FLAIR MR.
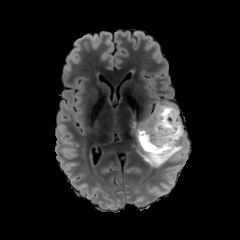
T1-weighted MR image.
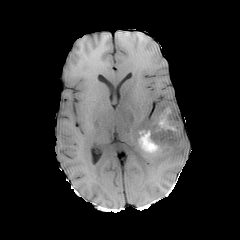
Post-contrast T1-weighted MR.
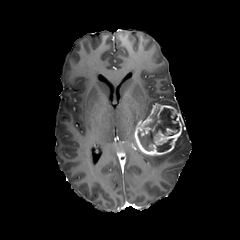
T2-weighted MRI.
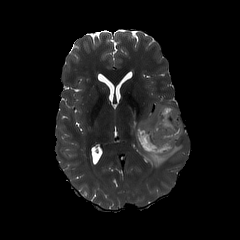
Axial slice; 240x240
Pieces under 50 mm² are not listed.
- peritumoral edema: bbox(157, 102, 178, 111); bbox(139, 129, 184, 167)
- necrotic tumor core: bbox(156, 138, 172, 151); bbox(138, 106, 179, 150)
- enhancing tumor: bbox(134, 104, 182, 155)